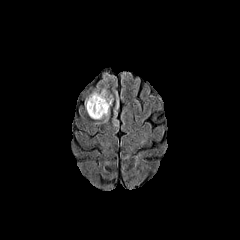
FLAIR MR image.
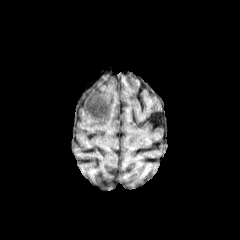
T1-weighted MR of the same slice.
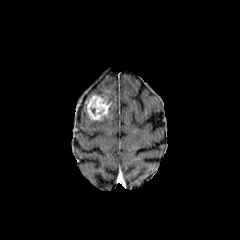
Post-contrast T1-weighted MR image.
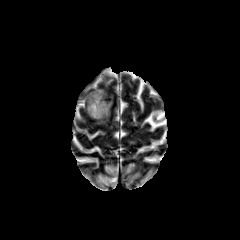
T2-weighted MR image of the same slice.
Brain. Axial slice. 240x240 px.
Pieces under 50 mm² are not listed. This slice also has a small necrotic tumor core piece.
enhancing_tumor:
  - (85, 94, 111, 120)
peritumoral_edema:
  - (93, 89, 107, 96)
  - (111, 98, 118, 126)